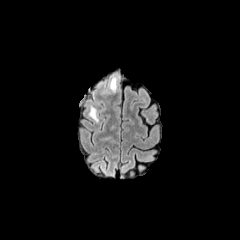
FLAIR MRI.
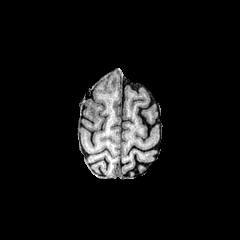
T1-weighted MR image of the same slice.
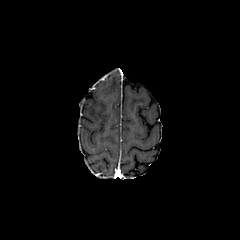
Post-contrast T1-weighted MR.
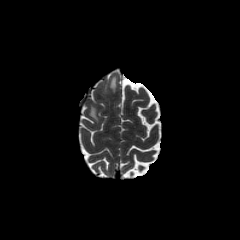
Same slice, T2-weighted MRI.
Head
Findings:
- peritumoral edema: <box>110,76,117,92</box>, <box>89,106,98,121</box>